Slice 119/155, Head, Image width 240 mm
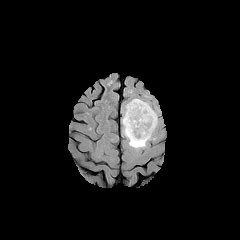
FLAIR MR image.
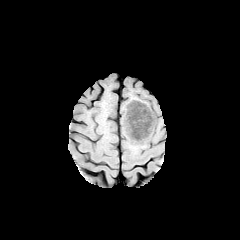
T1-weighted MR image.
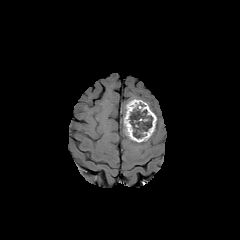
Same slice, post-contrast T1-weighted MRI.
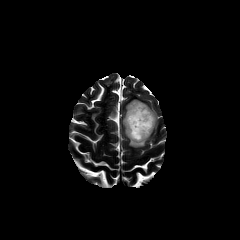
T2-weighted magnetic resonance.
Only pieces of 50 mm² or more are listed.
necrotic tumor core at [130,107,141,138], [145,117,152,130]
peritumoral edema at [122,105,154,148]
enhancing tumor at [124,99,156,142]